Head; Slice 81 of 155; Axial plane
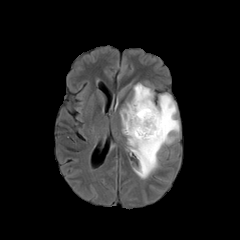
FLAIR MRI.
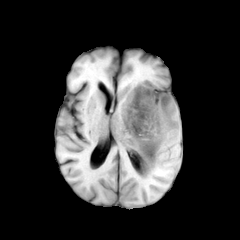
T1-weighted MRI of the same slice.
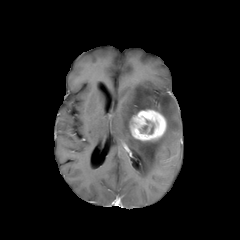
Post-contrast T1-weighted MR.
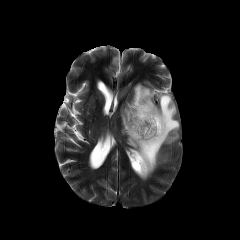
Same slice, T2-weighted MR.
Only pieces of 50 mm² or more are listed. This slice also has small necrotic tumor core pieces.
Annotated regions:
* enhancing tumor: <bbox>129, 109, 166, 141</bbox>
* peritumoral edema: <bbox>120, 83, 179, 179</bbox>